240x240 px; Slice 95 of 155
FLAIR MR image.
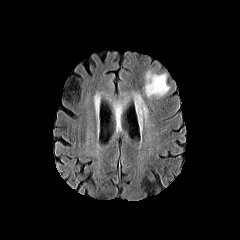
T1-weighted MR image.
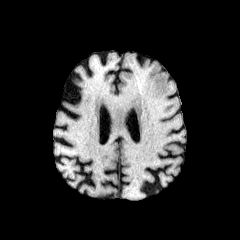
Post-contrast T1-weighted MR.
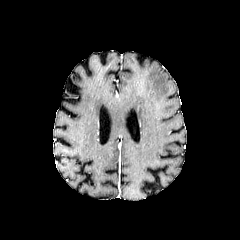
T2-weighted MR image.
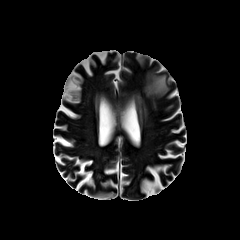
2 peritumoral edema regions are located at {"x1": 145, "y1": 71, "x2": 169, "y2": 97}, {"x1": 134, "y1": 94, "x2": 147, "y2": 116}.